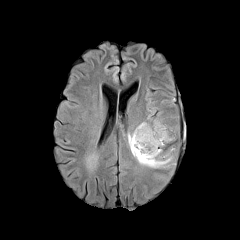
FLAIR MR image.
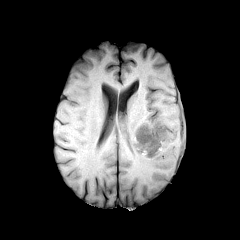
T1-weighted MR.
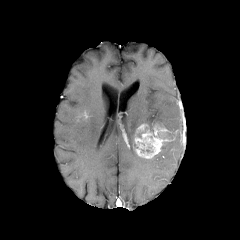
Post-contrast T1-weighted MRI.
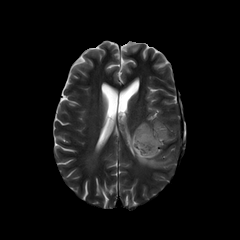
T2-weighted MR image.
Brain. 240x240 px.
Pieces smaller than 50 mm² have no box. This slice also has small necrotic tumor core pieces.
- enhancing tumor: rect(135, 124, 167, 158)
- peritumoral edema: rect(127, 128, 172, 168); rect(153, 119, 166, 127)